Head. 240x240 px.
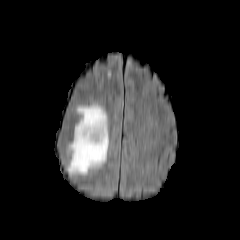
FLAIR MRI.
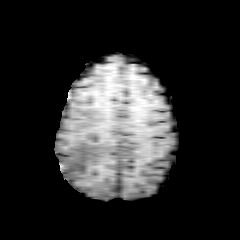
T1-weighted MR.
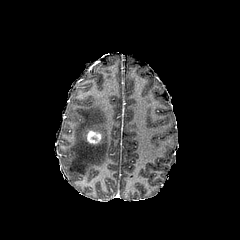
Post-contrast T1-weighted magnetic resonance.
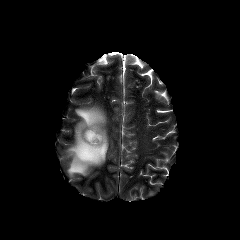
Same slice, T2-weighted MR image.
Segmented structures:
* peritumoral edema: 68:104:108:175
* enhancing tumor: 86:130:101:144